FLAIR MRI.
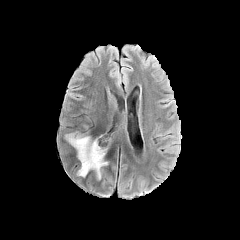
T1-weighted MRI.
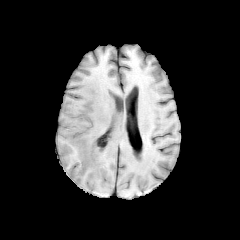
Post-contrast T1-weighted magnetic resonance.
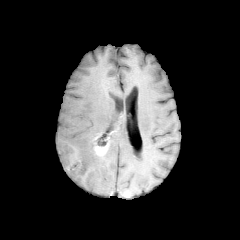
T2-weighted MR.
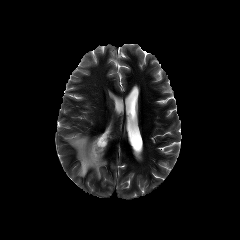
The enhancing tumor lies within 93,131,111,155. The peritumoral edema is bounded by 65,125,107,179.